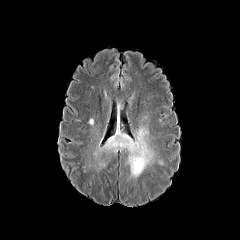
FLAIR MR image.
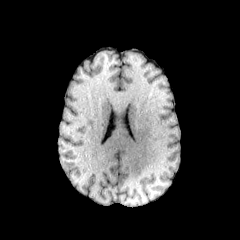
Same slice, T1-weighted MR.
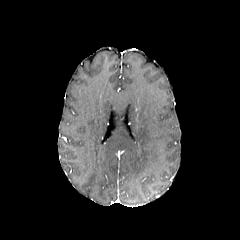
Post-contrast T1-weighted MRI.
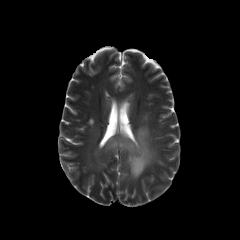
Same slice, T2-weighted MR image.
Axial slice; Brain
<segmentation>
  <peritumoral_edema>rect(85, 113, 163, 179); rect(126, 90, 135, 109); rect(103, 87, 111, 112)</peritumoral_edema>
</segmentation>